Axial plane. Brain.
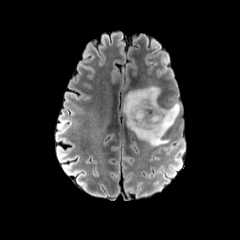
FLAIR MR.
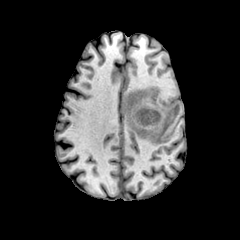
T1-weighted MR of the same slice.
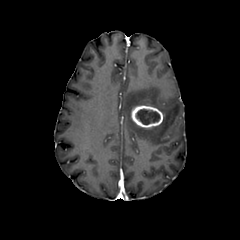
Post-contrast T1-weighted MR image.
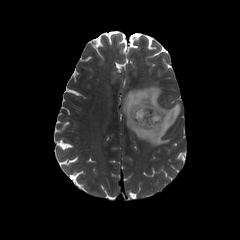
Same slice, T2-weighted MRI.
The peritumoral edema is bounded by x1=122, y1=85, x2=180, y2=146. The enhancing tumor is at x1=131, y1=105, x2=163, y2=128. The necrotic tumor core is bounded by x1=136, y1=109, x2=160, y2=124.